Image width 240 mm, 1.00 mm slice spacing. 240x240 px.
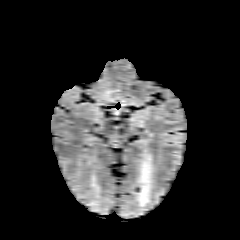
FLAIR MR.
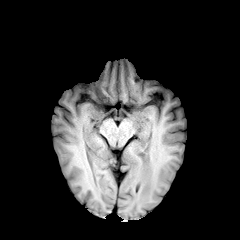
T1-weighted magnetic resonance.
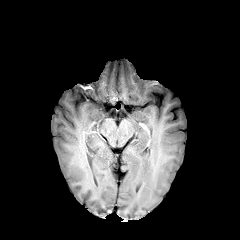
Post-contrast T1-weighted MR.
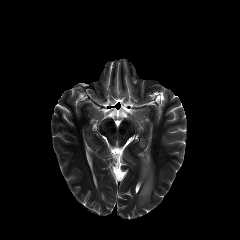
Same slice, T2-weighted magnetic resonance.
peritumoral edema: {"x1": 137, "y1": 155, "x2": 153, "y2": 206}